Slice 104 of 155. Image width 240 mm, 1.00 mm slice spacing.
FLAIR MR.
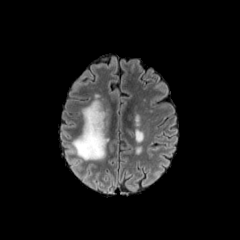
T1-weighted magnetic resonance.
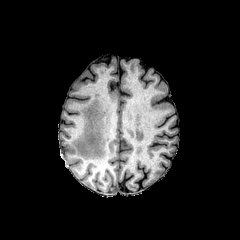
Post-contrast T1-weighted MR image.
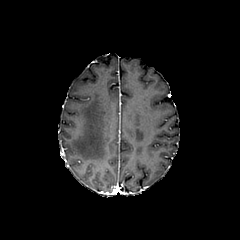
T2-weighted magnetic resonance.
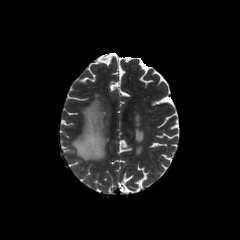
{"peritumoral_edema": ["box(72, 100, 110, 160)"]}